Axial slice, Head
FLAIR MR image.
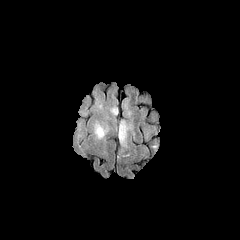
T1-weighted MRI.
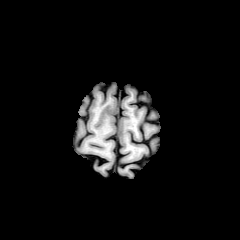
Post-contrast T1-weighted MR.
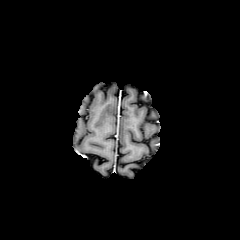
T2-weighted MRI.
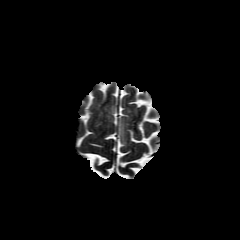
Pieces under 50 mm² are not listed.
{
  "peritumoral_edema": [
    "[119,121,125,139]"
  ]
}